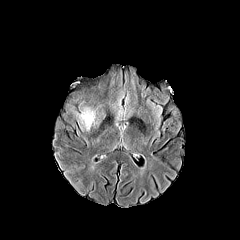
FLAIR magnetic resonance.
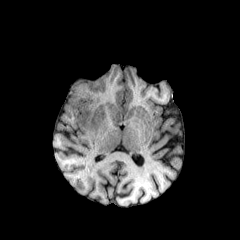
T1-weighted MRI of the same slice.
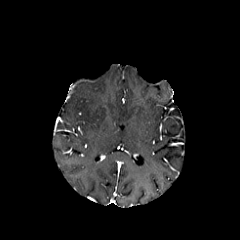
Post-contrast T1-weighted MR image of the same slice.
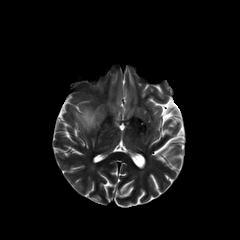
T2-weighted MRI.
Head, Image size 240x240
peritumoral edema: <box>79,108,96,130</box>